FLAIR MR image.
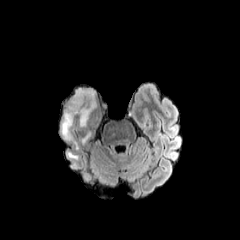
T1-weighted MR.
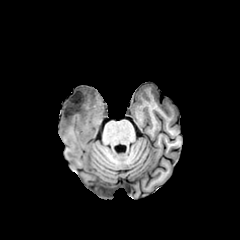
Post-contrast T1-weighted MR image.
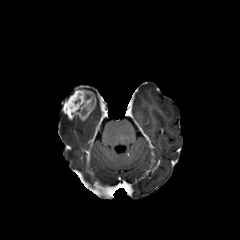
T2-weighted magnetic resonance.
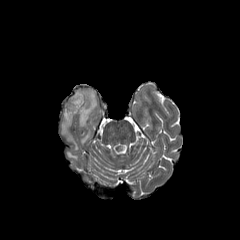
Axial plane; Brain
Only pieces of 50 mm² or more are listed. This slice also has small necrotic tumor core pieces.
Annotated regions:
* peritumoral edema: (79, 117, 88, 127), (67, 151, 77, 159), (61, 114, 78, 149)
* enhancing tumor: (62, 89, 96, 120)